FLAIR MR.
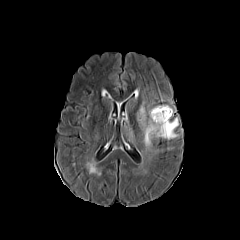
T1-weighted magnetic resonance.
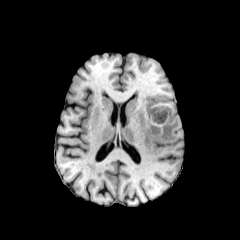
Post-contrast T1-weighted MR.
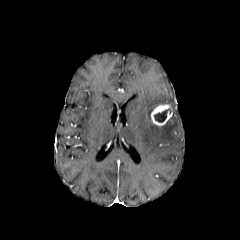
T2-weighted magnetic resonance.
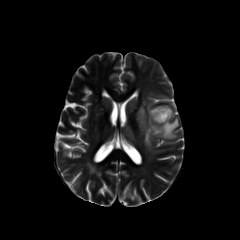
240x240; Axial slice
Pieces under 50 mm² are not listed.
peritumoral edema at 137 102 178 151
necrotic tumor core at 154 109 170 122
enhancing tumor at 151 105 172 125